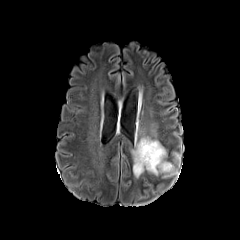
FLAIR MRI.
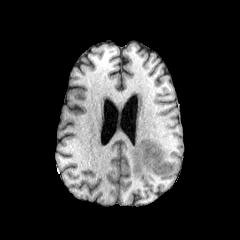
T1-weighted MRI.
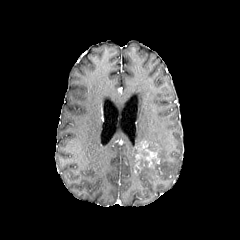
Post-contrast T1-weighted MR of the same slice.
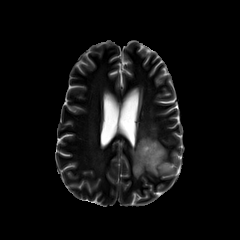
T2-weighted magnetic resonance.
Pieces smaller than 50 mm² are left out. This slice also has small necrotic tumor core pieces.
peritumoral_edema:
  - 131, 136, 176, 178
enhancing_tumor:
  - 135, 140, 160, 170